Brain; Image width 240 mm
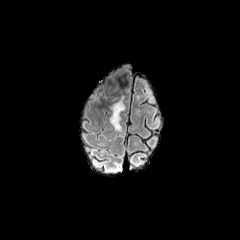
FLAIR MRI.
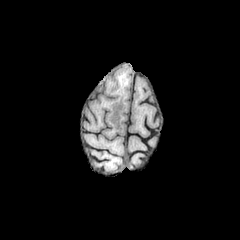
T1-weighted MR image.
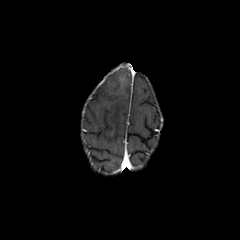
Post-contrast T1-weighted MRI.
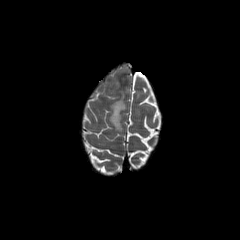
T2-weighted MR image of the same slice.
Annotated regions:
• peritumoral edema: box(109, 97, 125, 131)